FLAIR MRI.
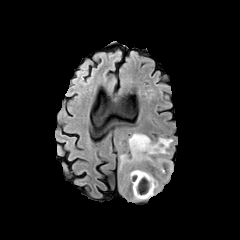
T1-weighted MR.
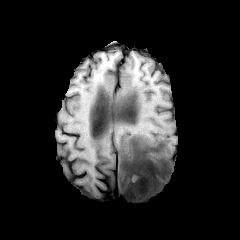
Post-contrast T1-weighted magnetic resonance.
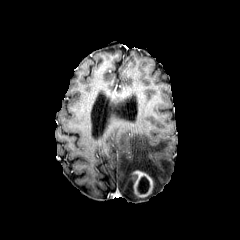
T2-weighted MRI.
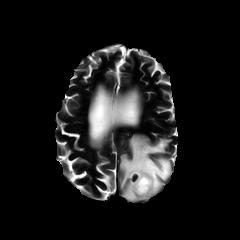
Head
Segmented structures:
- enhancing tumor: l=132, t=170, r=154, b=197
- necrotic tumor core: l=137, t=177, r=149, b=193
- peritumoral edema: l=119, t=133, r=172, b=201